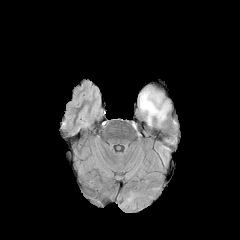
FLAIR MR image.
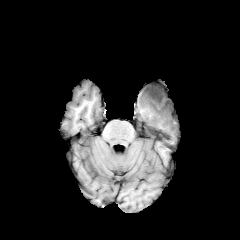
T1-weighted MRI of the same slice.
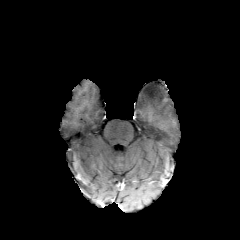
Post-contrast T1-weighted MR image of the same slice.
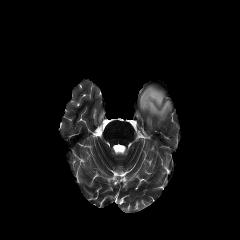
T2-weighted MRI.
Image size 240x240 | Axial plane | Brain
necrotic tumor core at 147 88 162 101
peritumoral edema at 138 86 170 125